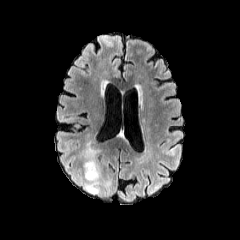
FLAIR MRI.
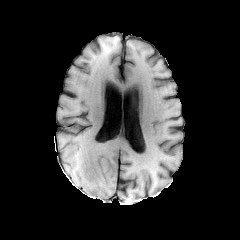
T1-weighted MRI.
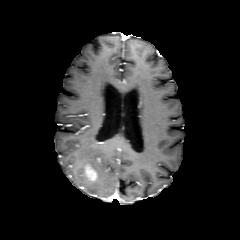
Post-contrast T1-weighted magnetic resonance.
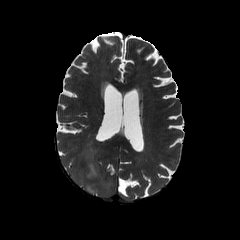
T2-weighted MRI of the same slice.
Brain
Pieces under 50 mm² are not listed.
The enhancing tumor is at (85,163,97,180). The largest peritumoral edema region is at (73,147,100,193).